240x240. Slice 81/155. Brain. Image covers 240 mm x 240 mm. Axial plane.
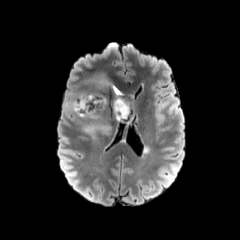
FLAIR MR image.
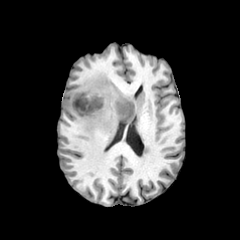
T1-weighted magnetic resonance.
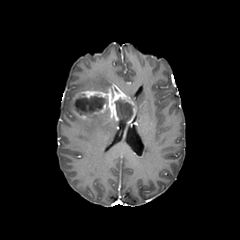
Same slice, post-contrast T1-weighted MR.
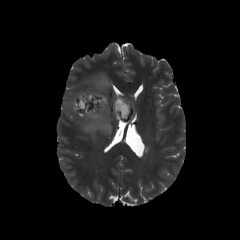
T2-weighted MRI.
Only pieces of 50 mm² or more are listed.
Segmented structures:
- peritumoral edema: 83 116 111 138, 92 72 113 92
- enhancing tumor: 71 85 136 123
- necrotic tumor core: 73 96 105 115, 115 100 132 120